FLAIR magnetic resonance.
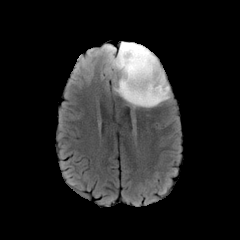
T1-weighted MR.
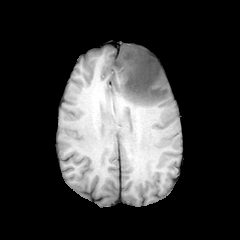
Post-contrast T1-weighted magnetic resonance.
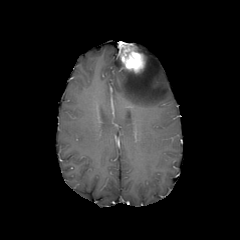
T2-weighted MRI.
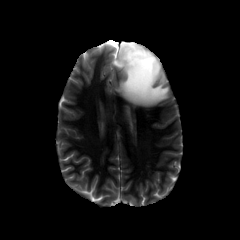
Brain | 240x240 | Axial view
{"peritumoral_edema": ["<box>108,44,170,107</box>"], "enhancing_tumor": ["<box>118,41,145,73</box>"]}